FLAIR MR image.
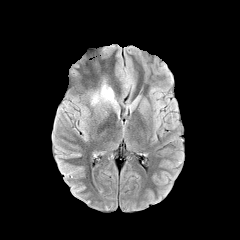
T1-weighted MR.
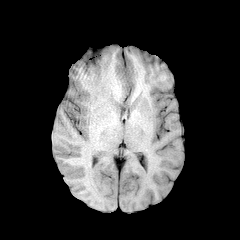
Post-contrast T1-weighted magnetic resonance.
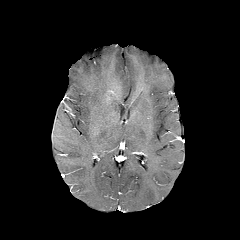
T2-weighted magnetic resonance.
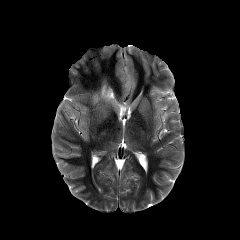
Axial view.
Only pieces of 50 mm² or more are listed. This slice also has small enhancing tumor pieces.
{
  "peritumoral_edema": [
    "91:82:117:106"
  ]
}